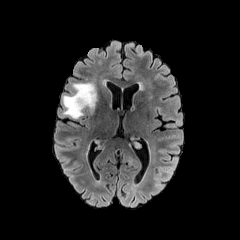
FLAIR MRI.
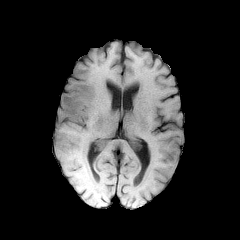
T1-weighted MR image.
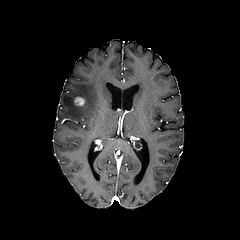
Post-contrast T1-weighted MR image.
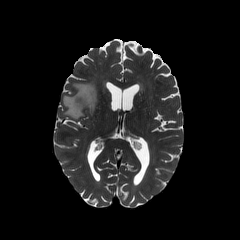
T2-weighted MR.
Head | Axial view
peritumoral edema — left=62, top=82, right=96, bottom=118
enhancing tumor — left=73, top=96, right=85, bottom=106